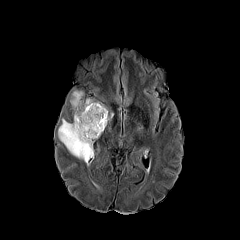
FLAIR MRI.
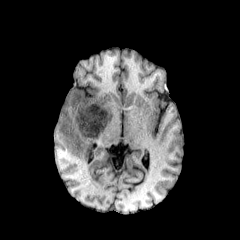
T1-weighted magnetic resonance.
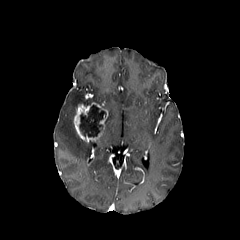
Post-contrast T1-weighted MR.
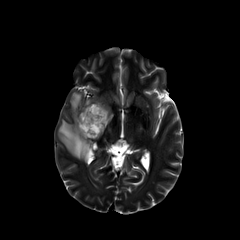
Same slice, T2-weighted magnetic resonance.
Head.
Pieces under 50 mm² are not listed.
peritumoral edema at [58,119,92,162], [70,90,83,118]
necrotic tumor core at [79,105,106,137]
enhancing tumor at [73,102,108,142]